FLAIR MR image.
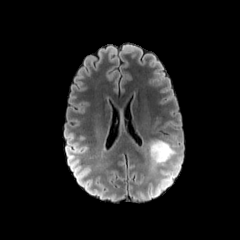
T1-weighted MR.
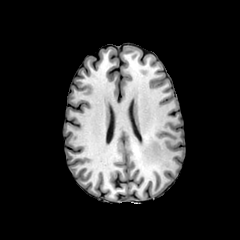
Post-contrast T1-weighted MRI.
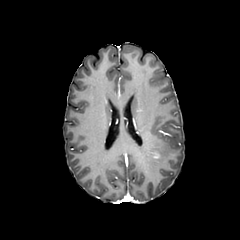
T2-weighted MR.
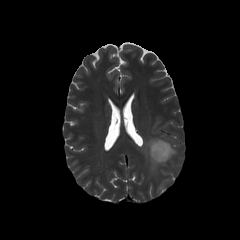
Axial slice
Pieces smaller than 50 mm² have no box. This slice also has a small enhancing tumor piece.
peritumoral edema: bounding box (x1=149, y1=140, x2=175, y2=166)